Axial view.
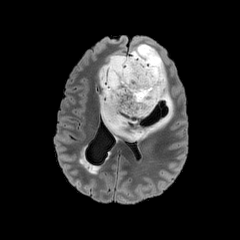
FLAIR MR image.
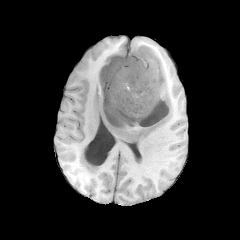
T1-weighted MRI.
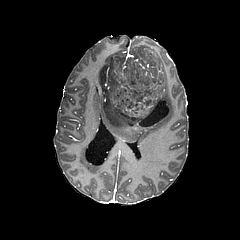
Post-contrast T1-weighted MR.
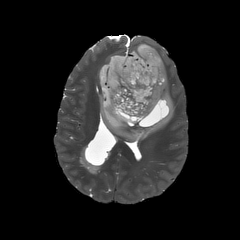
T2-weighted magnetic resonance of the same slice.
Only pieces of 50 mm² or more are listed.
necrotic tumor core: <bbox>101, 55, 171, 127</bbox> | peritumoral edema: <bbox>98, 43, 173, 142</bbox>